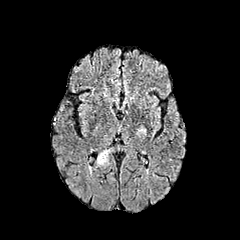
FLAIR MR image.
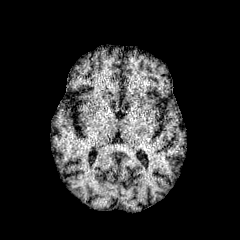
T1-weighted MRI of the same slice.
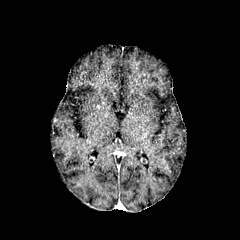
Post-contrast T1-weighted MR image of the same slice.
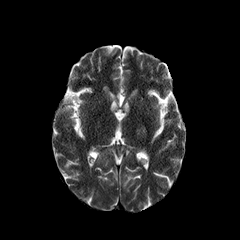
T2-weighted magnetic resonance.
Head
2 peritumoral edema regions are bounded by x1=97 y1=149 x2=110 y2=164, x1=137 y1=127 x2=145 y2=135.